Axial view, 240x240
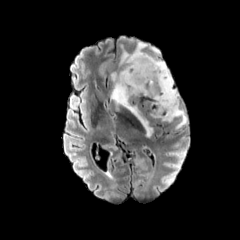
FLAIR MRI.
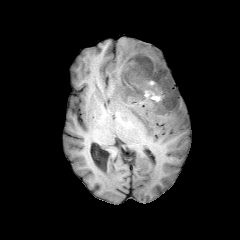
Same slice, T1-weighted MR image.
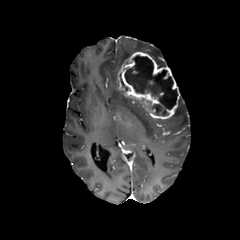
Same slice, post-contrast T1-weighted magnetic resonance.
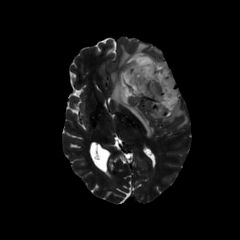
T2-weighted MR image of the same slice.
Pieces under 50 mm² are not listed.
{
  "enhancing_tumor": [
    "box=[118, 51, 180, 119]"
  ],
  "peritumoral_edema": [
    "box=[119, 41, 166, 68]",
    "box=[111, 70, 152, 136]",
    "box=[161, 96, 187, 129]"
  ],
  "necrotic_tumor_core": [
    "box=[124, 55, 177, 109]",
    "box=[151, 104, 168, 115]"
  ]
}